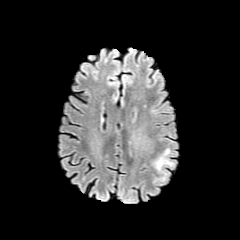
FLAIR magnetic resonance.
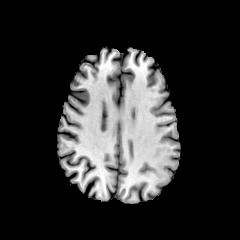
Same slice, T1-weighted magnetic resonance.
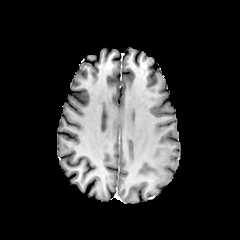
Post-contrast T1-weighted MR image.
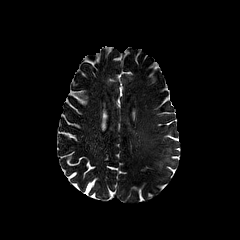
T2-weighted MRI of the same slice.
Axial plane | Brain
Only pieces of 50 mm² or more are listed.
The largest peritumoral edema region is located at (154,158,171,169).